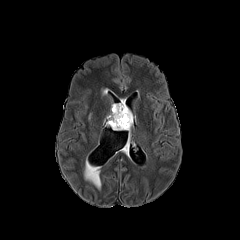
FLAIR MR image.
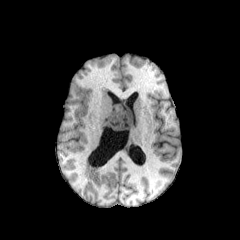
T1-weighted magnetic resonance.
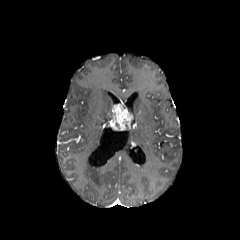
Post-contrast T1-weighted MRI.
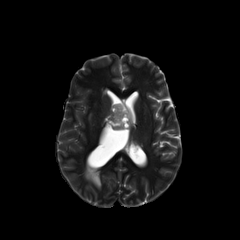
T2-weighted magnetic resonance.
Brain | Axial slice
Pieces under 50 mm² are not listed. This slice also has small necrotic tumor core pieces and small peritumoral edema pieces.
Findings:
• enhancing tumor: <box>106,102,133,130</box>